Slice 95/155, Image covers 240 mm x 240 mm, Head, Axial view
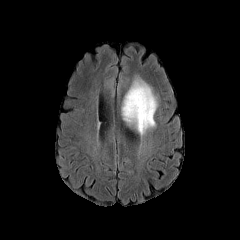
FLAIR MR.
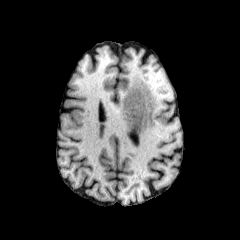
T1-weighted MRI.
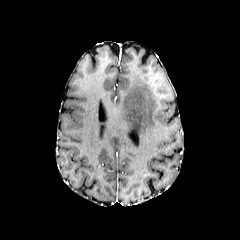
Post-contrast T1-weighted MRI of the same slice.
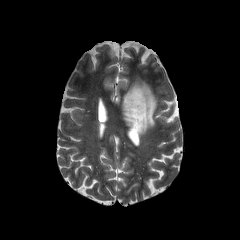
T2-weighted MR image.
Annotated regions:
* peritumoral edema: <box>122,78,157,135</box>